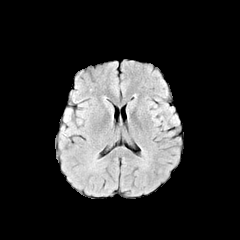
FLAIR MR.
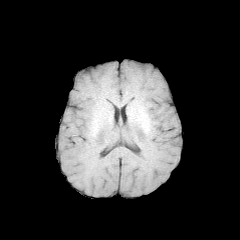
T1-weighted magnetic resonance.
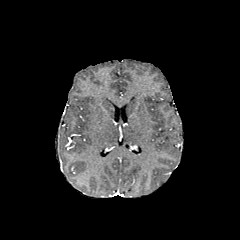
Post-contrast T1-weighted MR image.
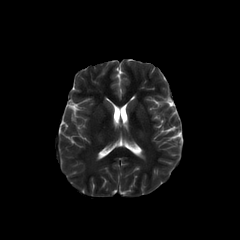
T2-weighted magnetic resonance.
Brain
peritumoral edema = (left=63, top=108, right=71, bottom=122)